FLAIR MR image.
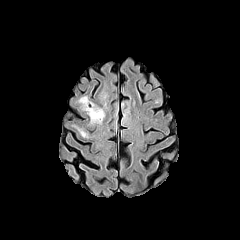
T1-weighted magnetic resonance.
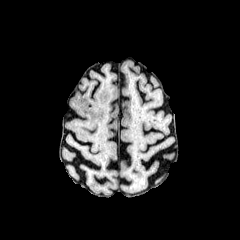
Post-contrast T1-weighted MRI.
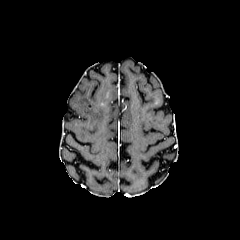
T2-weighted magnetic resonance.
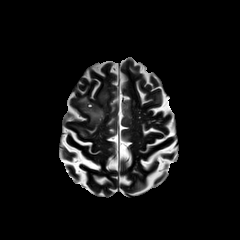
Axial slice. 240x240 px.
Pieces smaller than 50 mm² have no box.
peritumoral edema: 79 96 104 123